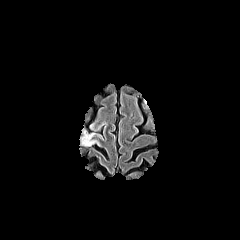
FLAIR MR image.
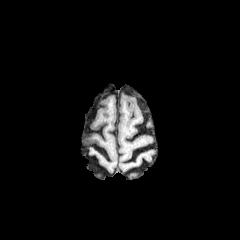
T1-weighted magnetic resonance.
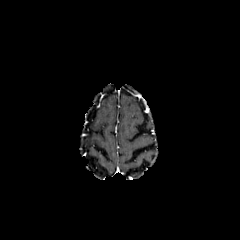
Post-contrast T1-weighted MRI.
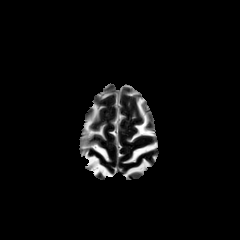
T2-weighted magnetic resonance.
Axial slice; Head
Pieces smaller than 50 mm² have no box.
peritumoral edema = 82 130 96 146